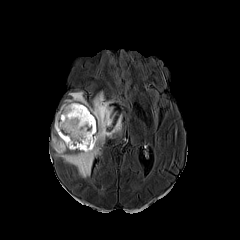
FLAIR MR.
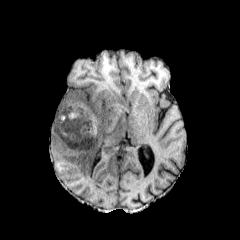
T1-weighted MR image.
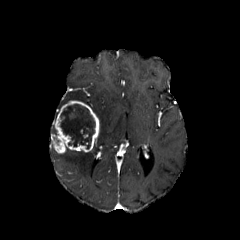
Same slice, post-contrast T1-weighted magnetic resonance.
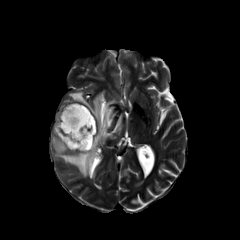
T2-weighted magnetic resonance.
Head. 240x240 px.
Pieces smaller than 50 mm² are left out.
Annotated regions:
• enhancing tumor: (left=51, top=100, right=99, bottom=153)
• necrotic tumor core: (left=60, top=104, right=95, bottom=148)
• peritumoral edema: (left=68, top=91, right=87, bottom=104), (left=54, top=92, right=122, bottom=177)